FLAIR magnetic resonance.
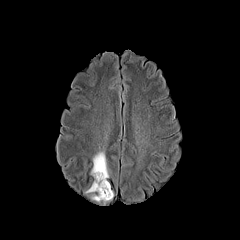
T1-weighted MR.
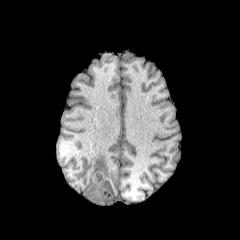
Post-contrast T1-weighted magnetic resonance.
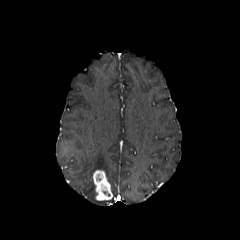
T2-weighted MR.
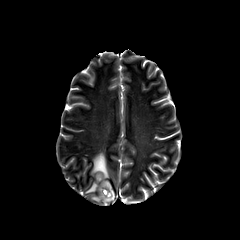
Brain
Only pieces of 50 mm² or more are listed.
<segmentation>
  <necrotic_tumor_core><box>100,182,111,197</box>, <box>95,172,103,182</box></necrotic_tumor_core>
  <enhancing_tumor><box>93,170,111,200</box></enhancing_tumor>
  <peritumoral_edema><box>85,182,109,203</box>, <box>90,151,109,178</box></peritumoral_edema>
</segmentation>